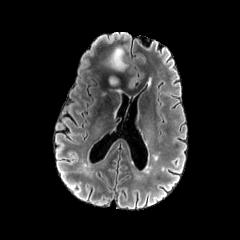
FLAIR MR image.
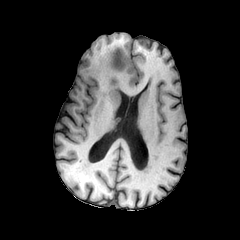
Same slice, T1-weighted MR image.
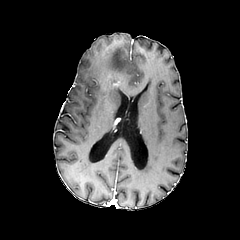
Post-contrast T1-weighted MR.
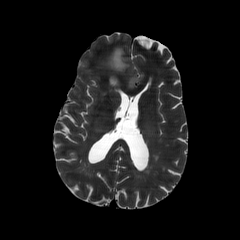
T2-weighted magnetic resonance.
Head
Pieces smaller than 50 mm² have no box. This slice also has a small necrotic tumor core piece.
* peritumoral edema: {"x1": 108, "y1": 47, "x2": 127, "y2": 71}
* enhancing tumor: {"x1": 107, "y1": 74, "x2": 120, "y2": 87}